Head. Image covers 240 mm x 240 mm. 240x240. Axial slice.
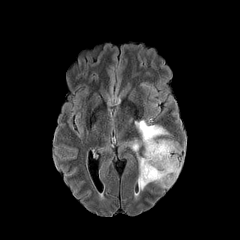
FLAIR MR.
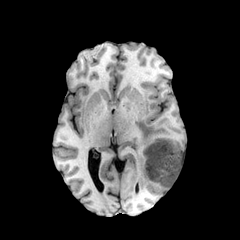
Same slice, T1-weighted MR image.
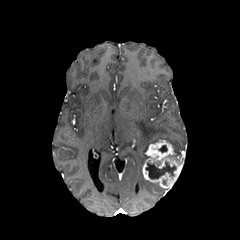
Post-contrast T1-weighted magnetic resonance.
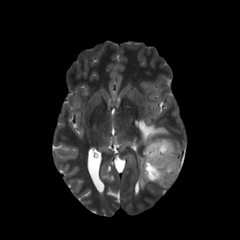
Same slice, T2-weighted magnetic resonance.
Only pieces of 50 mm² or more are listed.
The largest necrotic tumor core region appears at bbox(146, 162, 175, 179). The 2 largest peritumoral edema regions appear at bbox(137, 153, 150, 190); bbox(133, 120, 168, 151). The enhancing tumor lies within bbox(142, 140, 183, 188).